Image size 240x240.
FLAIR magnetic resonance.
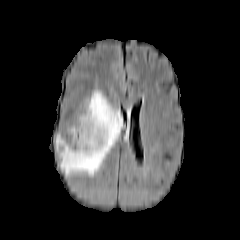
T1-weighted MR.
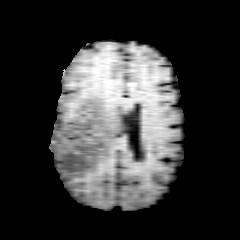
Post-contrast T1-weighted MR.
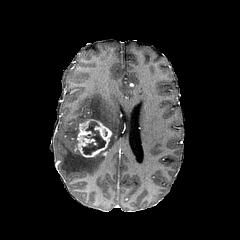
T2-weighted magnetic resonance.
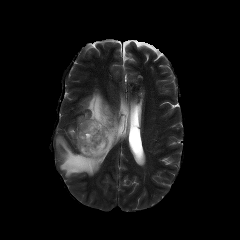
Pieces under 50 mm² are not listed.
Segmented structures:
* peritumoral edema: x1=56, y1=90, x2=122, y2=176; x1=69, y1=127, x2=78, y2=146
* necrotic tumor core: x1=82, y1=121, x2=105, y2=154
* enhancing tumor: x1=76, y1=119, x2=111, y2=157